Head | Axial view | Slice 69 of 155
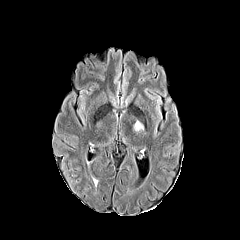
FLAIR MR image.
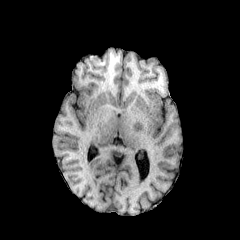
T1-weighted MR image.
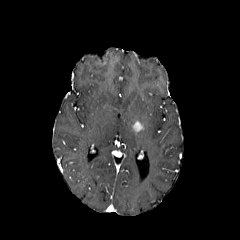
Same slice, post-contrast T1-weighted MR image.
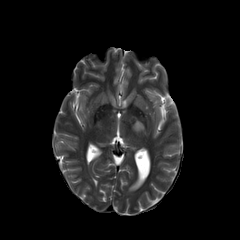
T2-weighted MRI.
enhancing tumor: 133,121,143,131